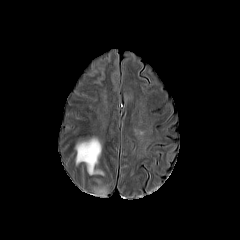
FLAIR MRI.
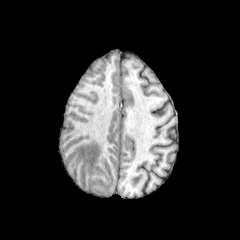
Same slice, T1-weighted MRI.
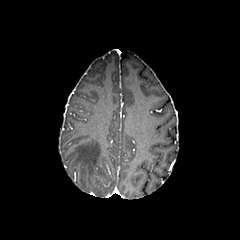
Post-contrast T1-weighted magnetic resonance.
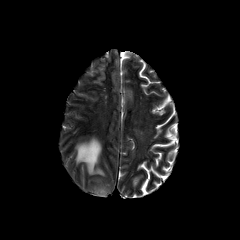
Same slice, T2-weighted MR.
Head; Image size 240x240
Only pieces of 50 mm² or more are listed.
peritumoral edema: bounding box region(75, 137, 103, 174)